Slice 41/155 | Image covers 240 mm x 240 mm | Brain | Image size 240x240
FLAIR MRI.
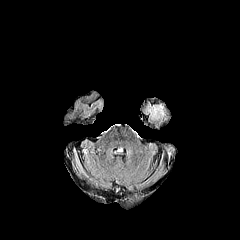
T1-weighted MR.
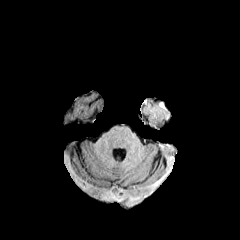
Post-contrast T1-weighted MRI.
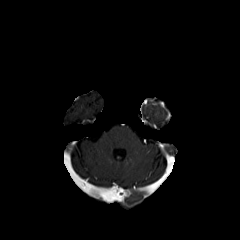
T2-weighted magnetic resonance.
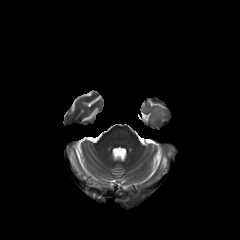
peritumoral edema: <box>152,108,163,115</box>